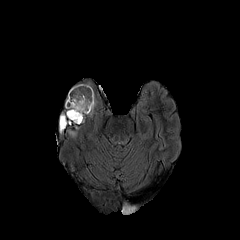
FLAIR MR image.
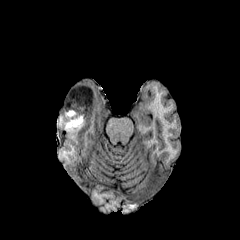
T1-weighted MR.
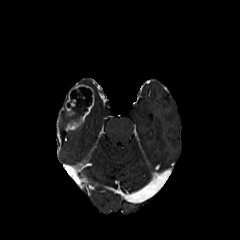
Same slice, post-contrast T1-weighted MRI.
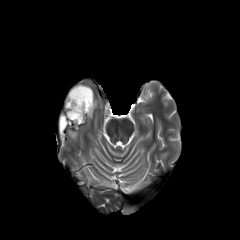
T2-weighted magnetic resonance.
Brain; Axial slice
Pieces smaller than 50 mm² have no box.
necrotic tumor core at [x1=61, y1=87, x2=92, y2=126]
peritumoral edema at [x1=59, y1=113, x2=65, y2=133], [x1=68, y1=127, x2=79, y2=138], [x1=88, y1=100, x2=97, y2=117]
enhancing tumor at [x1=65, y1=84, x2=94, y2=130]